Axial plane; Slice index 131; Image covers 240 mm x 240 mm
FLAIR MR.
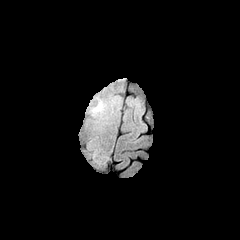
T1-weighted MRI.
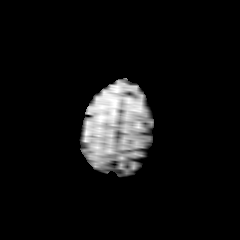
Post-contrast T1-weighted magnetic resonance.
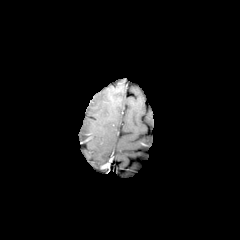
T2-weighted MR image.
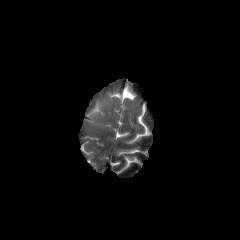
peritumoral_edema:
  - 91 99 104 113